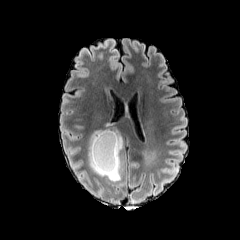
FLAIR MR.
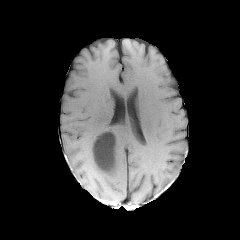
T1-weighted MRI of the same slice.
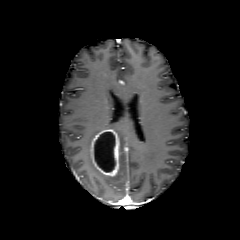
Post-contrast T1-weighted MR.
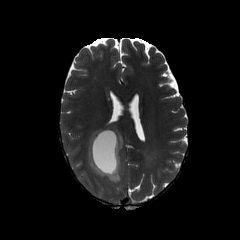
T2-weighted MR.
Axial view
Findings:
* enhancing tumor: l=90, t=129, r=119, b=176
* necrotic tumor core: l=94, t=132, r=115, b=172
* peritumoral edema: l=88, t=128, r=122, b=182